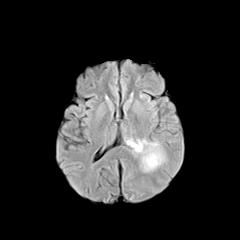
FLAIR magnetic resonance.
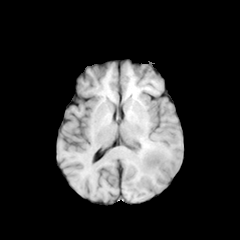
T1-weighted MR.
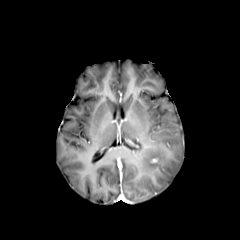
Post-contrast T1-weighted MRI of the same slice.
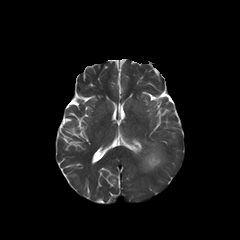
Same slice, T2-weighted MR image.
Axial view.
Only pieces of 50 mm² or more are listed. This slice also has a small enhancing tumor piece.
peritumoral edema — [126, 138, 165, 171]